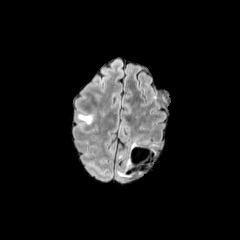
FLAIR MR.
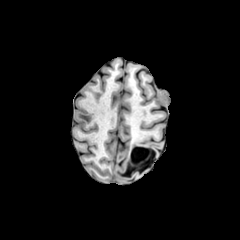
T1-weighted magnetic resonance of the same slice.
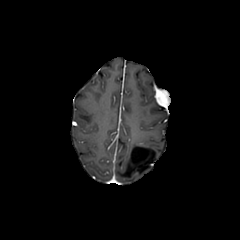
Same slice, post-contrast T1-weighted magnetic resonance.
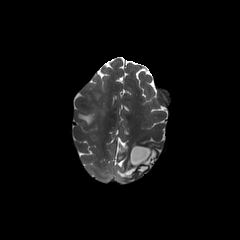
T2-weighted magnetic resonance.
Brain
• peritumoral edema: bbox(77, 114, 93, 124)